Image covers 240 mm x 240 mm, 240x240 px, Slice 91/155, Brain
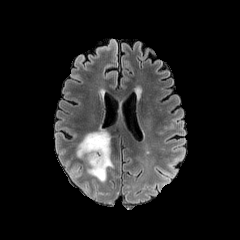
FLAIR MR image.
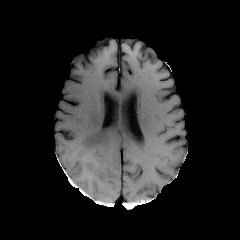
T1-weighted MRI.
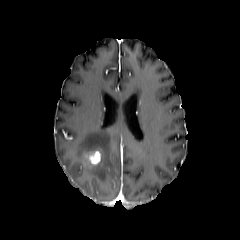
Post-contrast T1-weighted MRI.
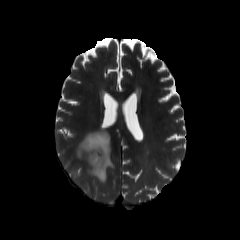
T2-weighted MR image of the same slice.
peritumoral edema at l=77, t=130, r=114, b=181
enhancing tumor at l=84, t=149, r=101, b=167